FLAIR MR.
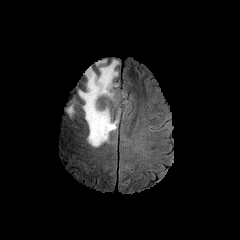
T1-weighted MRI.
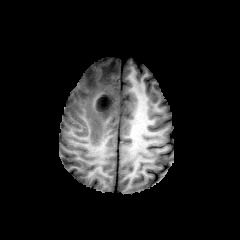
Post-contrast T1-weighted MR.
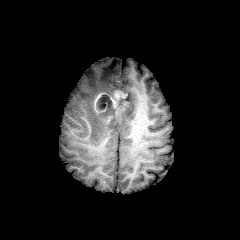
T2-weighted MRI.
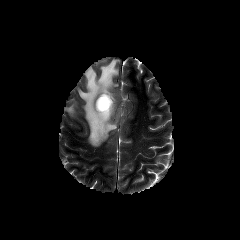
Head
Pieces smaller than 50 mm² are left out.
Segmented structures:
- enhancing tumor: region(94, 93, 105, 111); region(110, 91, 125, 113)
- necrotic tumor core: region(97, 94, 112, 113)
- peritumoral edema: region(78, 59, 120, 146); region(66, 104, 74, 115)